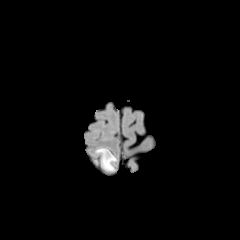
FLAIR magnetic resonance.
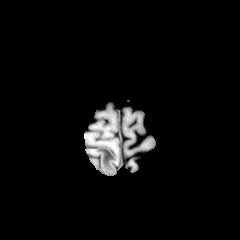
Same slice, T1-weighted magnetic resonance.
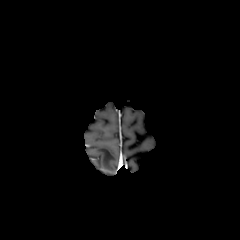
Post-contrast T1-weighted MR image.
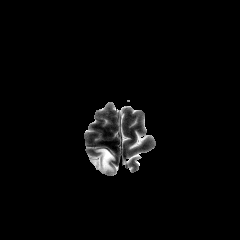
Same slice, T2-weighted MRI.
Head
peritumoral edema = {"x1": 98, "y1": 149, "x2": 114, "y2": 169}